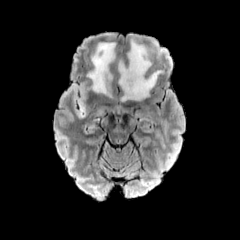
FLAIR magnetic resonance.
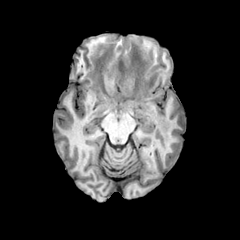
T1-weighted MR image of the same slice.
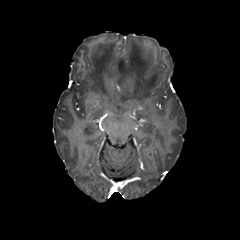
Post-contrast T1-weighted magnetic resonance of the same slice.
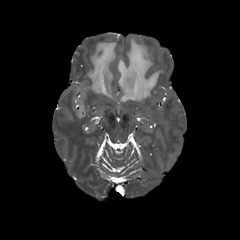
T2-weighted magnetic resonance of the same slice.
240x240 | Head
peritumoral edema: (x1=87, y1=42, x2=115, y2=96), (x1=70, y1=83, x2=87, y2=119), (x1=118, y1=38, x2=162, y2=101)